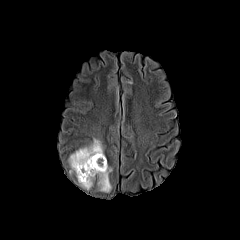
FLAIR magnetic resonance.
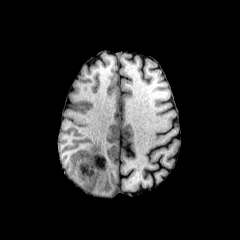
Same slice, T1-weighted MR.
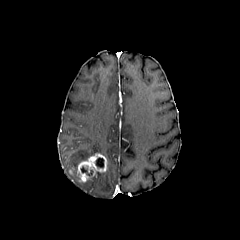
Post-contrast T1-weighted magnetic resonance.
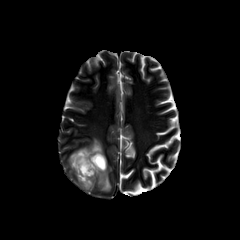
Same slice, T2-weighted MR.
Axial plane, 240x240 px
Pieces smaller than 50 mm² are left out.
necrotic tumor core — <box>96,157,103,167</box>
enhancing tumor — <box>77,153,107,182</box>
peritumoral edema — <box>68,138,103,176</box>, <box>96,166,112,192</box>, <box>77,177,94,189</box>